FLAIR MR image.
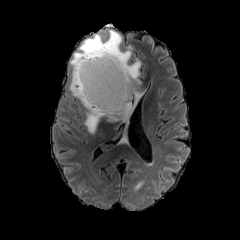
T1-weighted magnetic resonance.
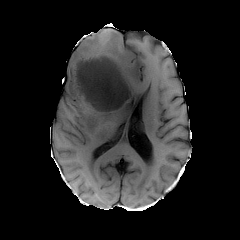
Post-contrast T1-weighted MR image.
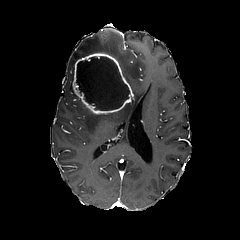
T2-weighted MR.
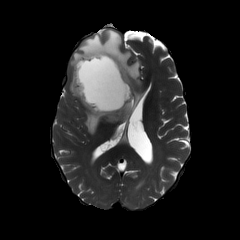
Axial plane.
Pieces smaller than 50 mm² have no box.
Segmented structures:
- necrotic tumor core: (left=76, top=56, right=129, bottom=110)
- peritumoral edema: (left=69, top=29, right=143, bottom=132)
- enhancing tumor: (left=72, top=52, right=133, bottom=114)